FLAIR MR image.
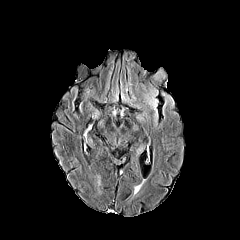
T1-weighted magnetic resonance.
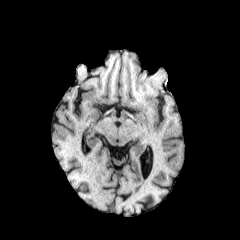
Post-contrast T1-weighted MRI.
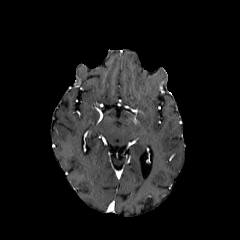
T2-weighted MR image.
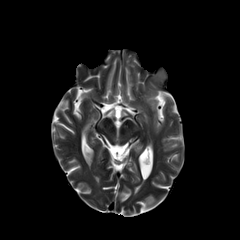
240x240
The peritumoral edema is bounded by box(149, 99, 157, 113).